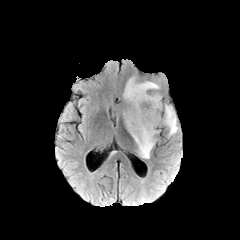
FLAIR magnetic resonance.
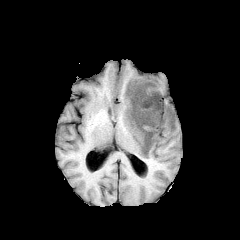
T1-weighted MR of the same slice.
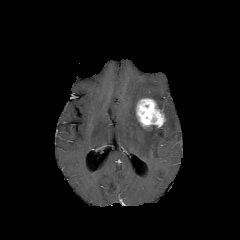
Same slice, post-contrast T1-weighted MRI.
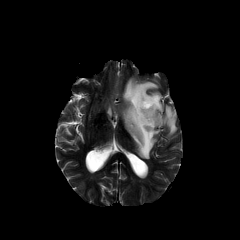
Same slice, T2-weighted MRI.
Axial slice
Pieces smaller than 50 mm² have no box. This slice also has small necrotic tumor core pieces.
enhancing tumor: box(135, 98, 165, 128)
peritumoral edema: box(164, 105, 177, 137); box(123, 77, 162, 159)